Image width 240 mm | Brain | Axial plane
FLAIR magnetic resonance.
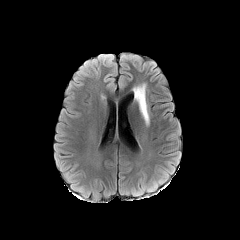
T1-weighted MR.
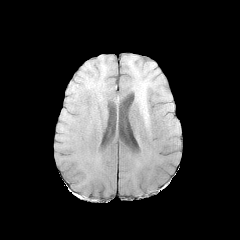
Post-contrast T1-weighted MRI.
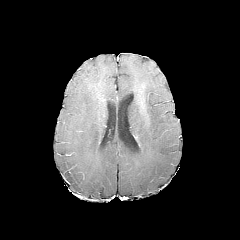
T2-weighted MRI.
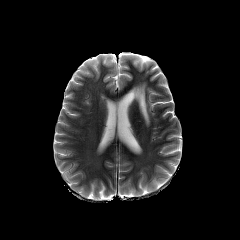
The peritumoral edema lies within left=133, top=84, right=149, bottom=125.